FLAIR magnetic resonance.
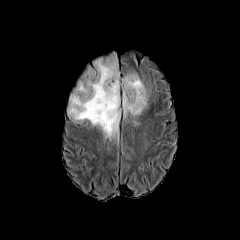
T1-weighted MR image.
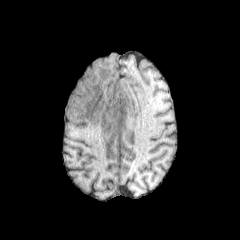
Post-contrast T1-weighted MR image.
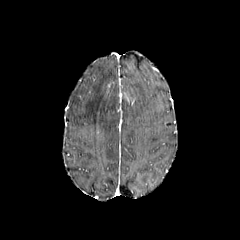
T2-weighted MR.
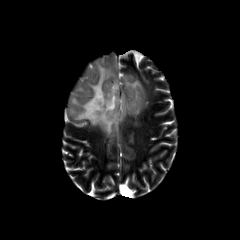
Axial plane, Brain
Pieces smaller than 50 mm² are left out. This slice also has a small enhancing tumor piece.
{"peritumoral_edema": ["rect(67, 54, 147, 139)"]}